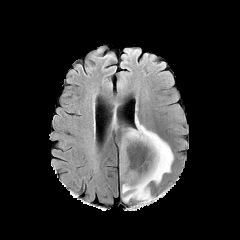
FLAIR MR image.
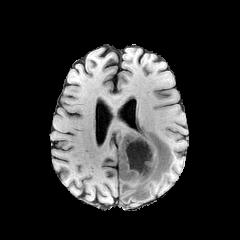
T1-weighted MRI.
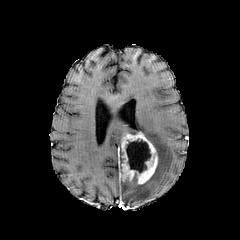
Same slice, post-contrast T1-weighted MRI.
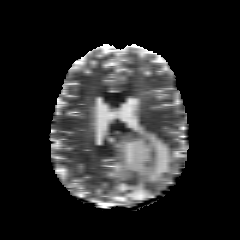
T2-weighted MR image of the same slice.
Head
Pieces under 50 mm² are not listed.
enhancing tumor: (120,131,158,184)
necrotic tumor core: (126,140,150,173)
peritumoral edema: (121,118,173,202)